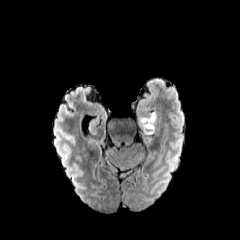
FLAIR magnetic resonance.
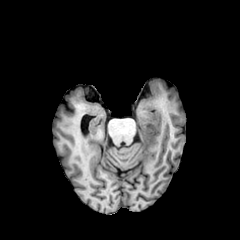
Same slice, T1-weighted magnetic resonance.
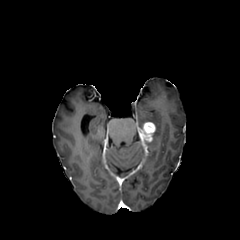
Post-contrast T1-weighted MR image.
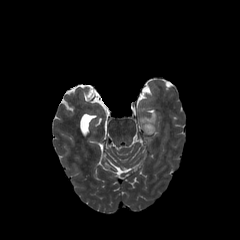
Same slice, T2-weighted MRI.
Axial slice. Brain.
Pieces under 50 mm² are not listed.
The largest peritumoral edema region lies within region(139, 113, 156, 129). The enhancing tumor is located at region(140, 122, 155, 141).